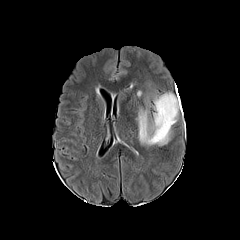
FLAIR MR.
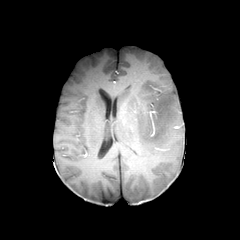
T1-weighted MR image.
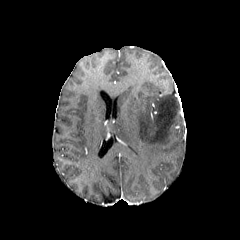
Post-contrast T1-weighted MR image.
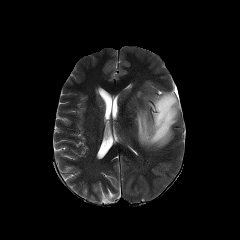
Same slice, T2-weighted MR image.
240x240 px. Axial view.
peritumoral edema: x1=137 y1=93 x2=179 y2=145